Image size 240x240. Image width 240 mm. Brain. Slice index 101.
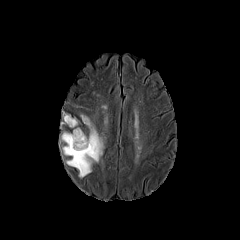
FLAIR MR.
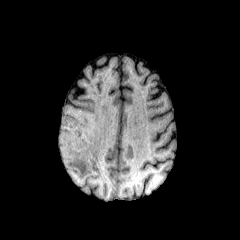
Same slice, T1-weighted magnetic resonance.
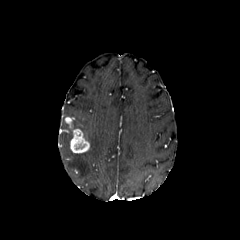
Post-contrast T1-weighted MR image of the same slice.
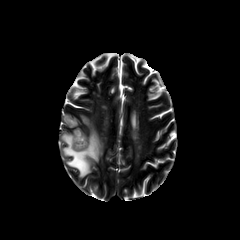
T2-weighted MR.
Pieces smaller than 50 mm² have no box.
enhancing tumor = 70,128,89,153; 64,116,74,128
peritumoral edema = 61,114,104,177